FLAIR MR image.
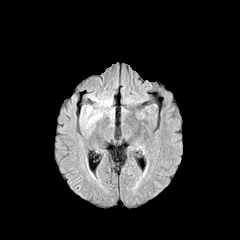
T1-weighted MR image.
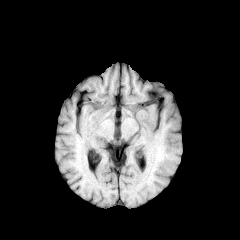
Post-contrast T1-weighted MRI.
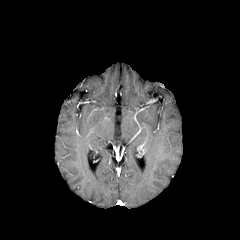
T2-weighted MRI.
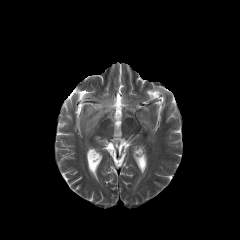
Head.
peritumoral edema at {"x1": 80, "y1": 106, "x2": 104, "y2": 131}, {"x1": 89, "y1": 93, "x2": 110, "y2": 105}, {"x1": 108, "y1": 108, "x2": 114, "y2": 122}